FLAIR MRI.
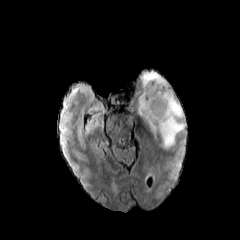
T1-weighted MRI.
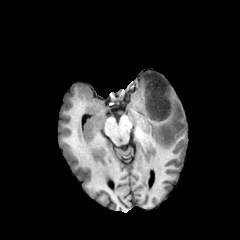
Post-contrast T1-weighted MRI.
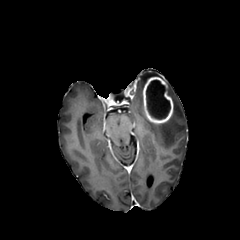
T2-weighted MR.
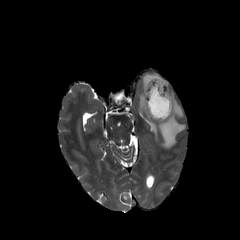
Brain.
Annotated regions:
- necrotic tumor core: left=146, top=80, right=170, bottom=119
- enhancing tumor: left=143, top=76, right=173, bottom=123
- peritumoral edema: left=138, top=72, right=160, bottom=118; left=147, top=89, right=185, bottom=148